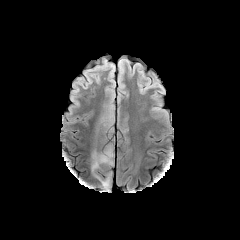
FLAIR magnetic resonance.
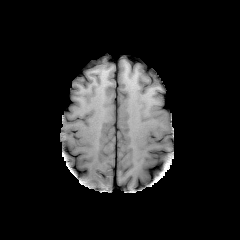
T1-weighted MR image.
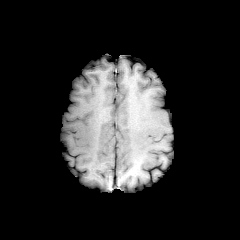
Post-contrast T1-weighted MR.
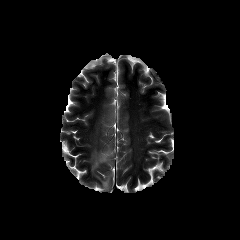
T2-weighted MR of the same slice.
Axial view.
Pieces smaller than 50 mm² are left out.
<segmentation>
  <peritumoral_edema>101:177:109:188, 92:146:113:171</peritumoral_edema>
</segmentation>